Axial plane | Head
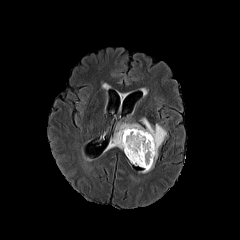
FLAIR magnetic resonance.
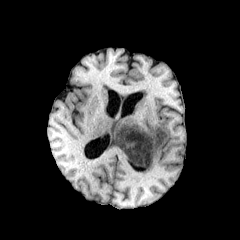
T1-weighted magnetic resonance.
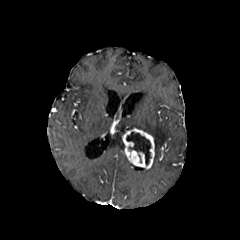
Post-contrast T1-weighted MR.
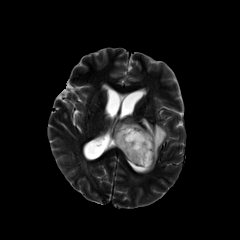
T2-weighted MRI.
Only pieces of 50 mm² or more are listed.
The peritumoral edema appears at (left=109, top=118, right=166, bottom=172). The largest necrotic tumor core region is at (left=126, top=132, right=151, bottom=165). The enhancing tumor is located at (left=122, top=128, right=154, bottom=169).